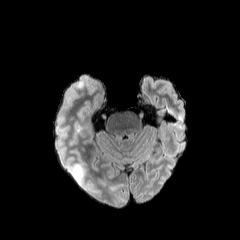
FLAIR MR image.
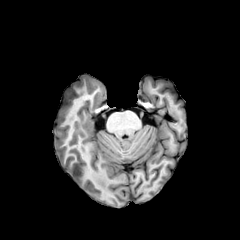
T1-weighted MRI.
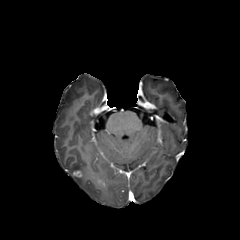
Post-contrast T1-weighted magnetic resonance of the same slice.
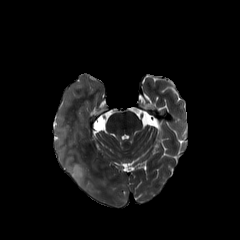
T2-weighted MRI.
Head; Axial slice
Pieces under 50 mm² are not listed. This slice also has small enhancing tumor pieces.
Segmented structures:
• peritumoral edema: 69,164,90,189